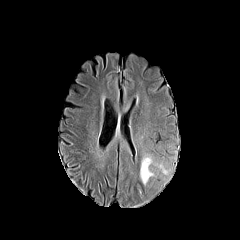
FLAIR MRI.
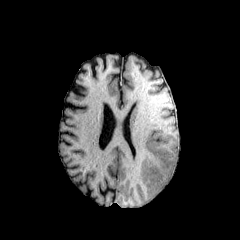
Same slice, T1-weighted magnetic resonance.
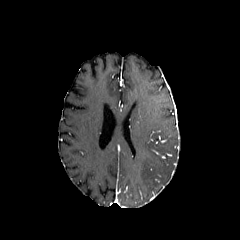
Post-contrast T1-weighted magnetic resonance.
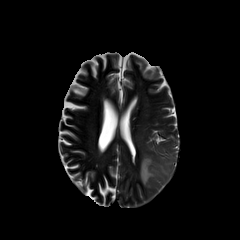
T2-weighted magnetic resonance of the same slice.
240x240 px, Axial plane
peritumoral_edema:
  - box=[140, 156, 168, 185]